FLAIR magnetic resonance.
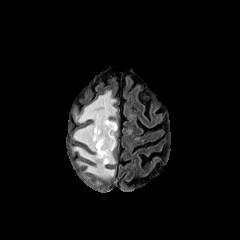
T1-weighted MR.
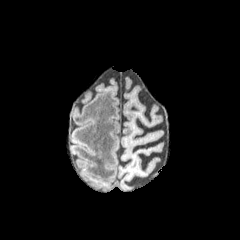
Post-contrast T1-weighted MRI.
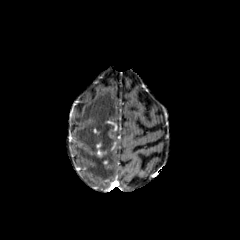
T2-weighted MR.
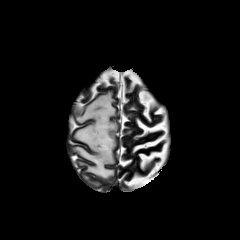
Brain.
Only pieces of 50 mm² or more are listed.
Annotated regions:
- peritumoral edema: (73,91,116,179)
- enhancing tumor: (105,120,117,139), (96,141,106,156)
- necrotic tumor core: (99,124,113,136)